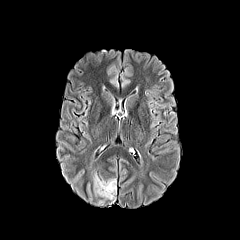
FLAIR magnetic resonance.
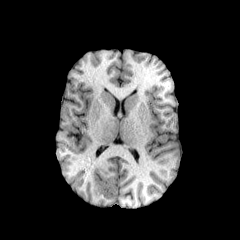
Same slice, T1-weighted MR image.
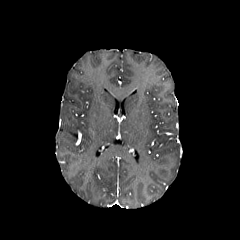
Post-contrast T1-weighted MRI.
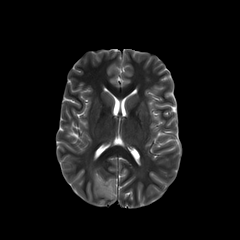
Same slice, T2-weighted MR.
Image size 240x240; Brain
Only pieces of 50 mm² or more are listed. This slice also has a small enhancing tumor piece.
peritumoral_edema:
  - rect(93, 172, 116, 201)